Brain
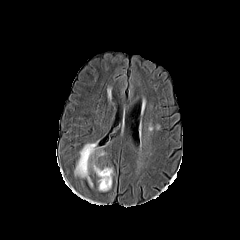
FLAIR MR image.
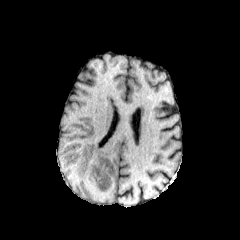
T1-weighted magnetic resonance.
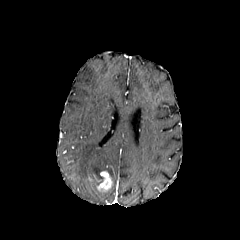
Same slice, post-contrast T1-weighted MR image.
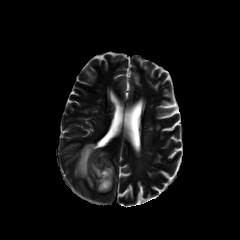
T2-weighted MR.
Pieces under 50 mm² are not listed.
enhancing tumor at (97, 171, 111, 191)
peritumoral edema at (75, 143, 112, 186)